FLAIR MR image.
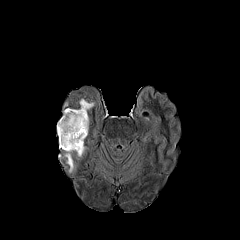
T1-weighted MR image.
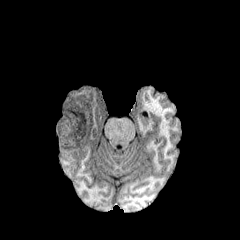
Post-contrast T1-weighted magnetic resonance.
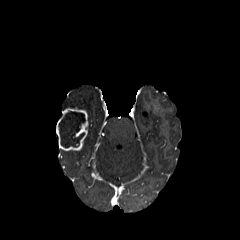
T2-weighted MRI.
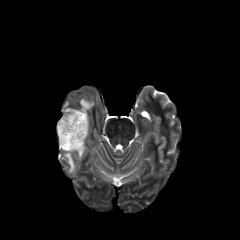
Axial plane; Head
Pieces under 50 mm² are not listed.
<segmentation>
  <necrotic_tumor_core>[59,111,85,147]</necrotic_tumor_core>
  <peritumoral_edema>[64,150,75,172], [76,145,86,157], [79,99,94,111]</peritumoral_edema>
  <enhancing_tumor>[56,108,88,150]</enhancing_tumor>
</segmentation>